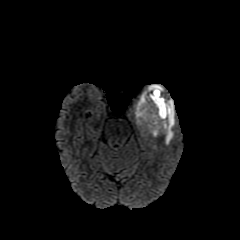
FLAIR MR.
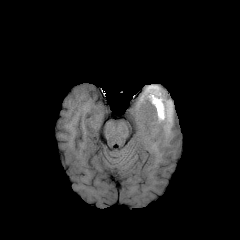
T1-weighted magnetic resonance of the same slice.
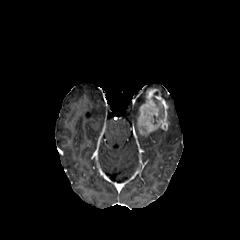
Post-contrast T1-weighted magnetic resonance of the same slice.
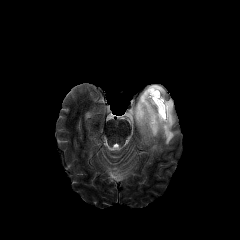
T2-weighted magnetic resonance of the same slice.
Brain
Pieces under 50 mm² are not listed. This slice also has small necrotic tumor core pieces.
peritumoral edema at [133,84,175,144]
enhancing tumor at [137,88,168,135]